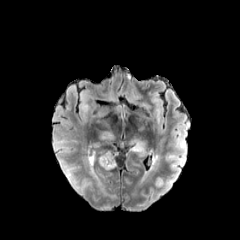
FLAIR MR image.
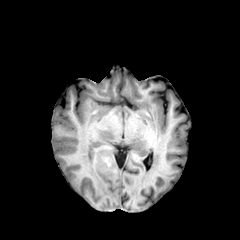
T1-weighted magnetic resonance.
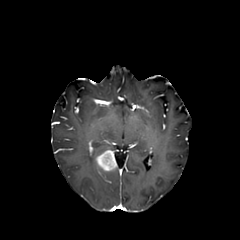
Post-contrast T1-weighted magnetic resonance.
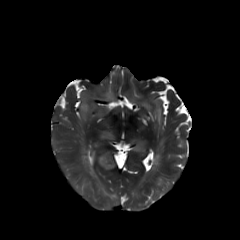
T2-weighted magnetic resonance.
Axial slice | 240x240
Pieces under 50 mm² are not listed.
enhancing tumor: (95,150,116,171) | peritumoral edema: (132,142,143,151), (87,151,102,185), (80,95,88,118)